FLAIR MRI.
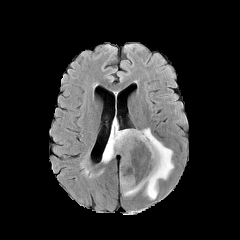
T1-weighted MR image.
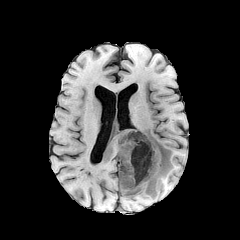
Post-contrast T1-weighted MR image.
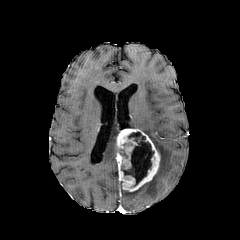
T2-weighted MRI.
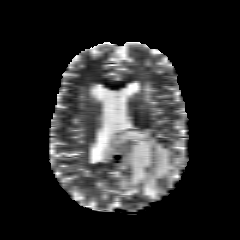
Axial view. Head.
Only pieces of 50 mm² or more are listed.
necrotic tumor core: left=121, top=132, right=153, bottom=186
peritumoral edema: left=123, top=128, right=173, bottom=199; left=102, top=120, right=119, bottom=162
enhancing tumor: left=116, top=128, right=160, bottom=191